FLAIR MRI.
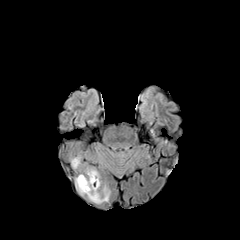
T1-weighted MR image.
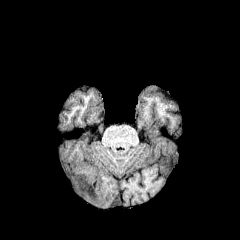
Post-contrast T1-weighted MRI.
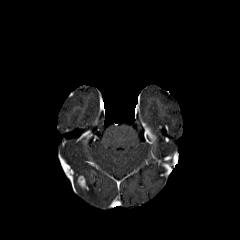
T2-weighted MR image.
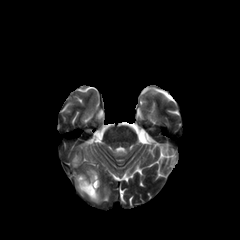
Axial view
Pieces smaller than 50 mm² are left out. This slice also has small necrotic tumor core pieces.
enhancing tumor: {"x1": 77, "y1": 175, "x2": 88, "y2": 189} | peritumoral edema: {"x1": 75, "y1": 170, "x2": 109, "y2": 203}, {"x1": 72, "y1": 156, "x2": 80, "y2": 168}